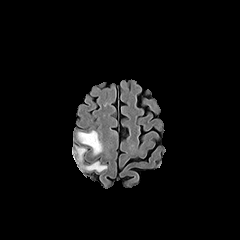
FLAIR MR image.
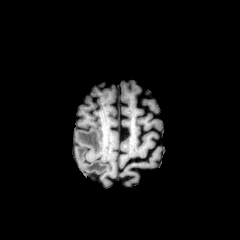
T1-weighted magnetic resonance of the same slice.
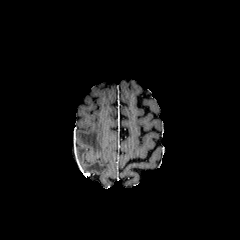
Post-contrast T1-weighted MR of the same slice.
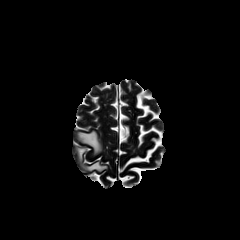
T2-weighted magnetic resonance of the same slice.
240x240. Head. Axial plane.
3 peritumoral edema regions appear at (left=77, top=148, right=85, bottom=161), (left=83, top=162, right=107, bottom=171), (left=77, top=130, right=102, bottom=154).